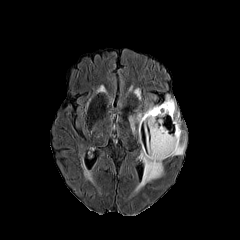
FLAIR MRI.
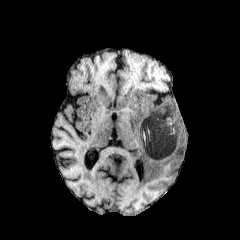
T1-weighted MR.
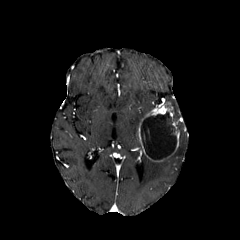
Same slice, post-contrast T1-weighted magnetic resonance.
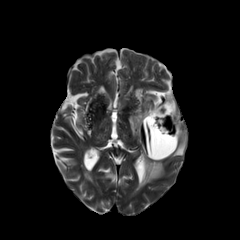
T2-weighted magnetic resonance of the same slice.
Head; Axial slice
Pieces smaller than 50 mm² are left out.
enhancing tumor — [x1=138, y1=102, x2=180, y2=162]
necrotic tumor core — [x1=141, y1=112, x2=176, y2=159]
peritumoral edema — [x1=164, y1=95, x2=179, y2=118], [x1=137, y1=121, x2=186, y2=189], [x1=130, y1=95, x2=157, y2=134], [x1=135, y1=89, x2=141, y2=99]